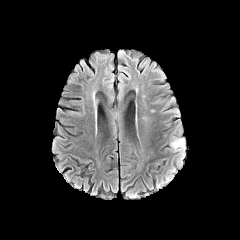
FLAIR MR.
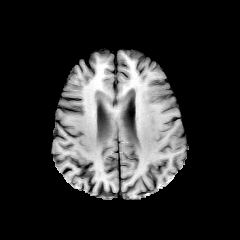
T1-weighted MR.
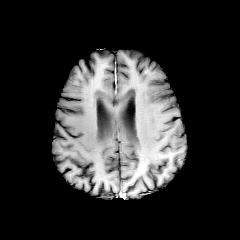
Post-contrast T1-weighted MR image of the same slice.
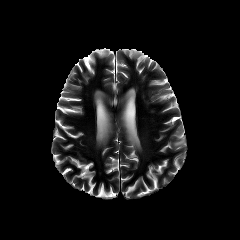
T2-weighted MRI.
240x240, Brain, Axial plane
{
  "peritumoral_edema": [
    "l=172, t=136, r=186, b=150"
  ]
}